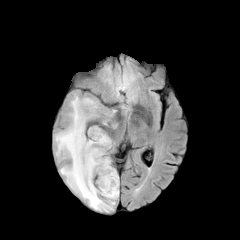
FLAIR magnetic resonance.
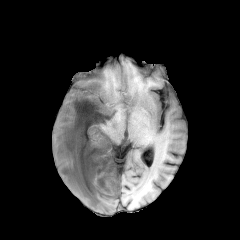
T1-weighted magnetic resonance.
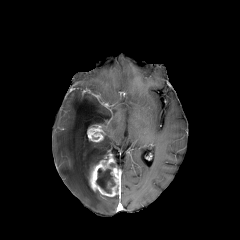
Post-contrast T1-weighted magnetic resonance.
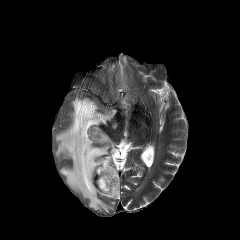
T2-weighted MR image.
Axial view
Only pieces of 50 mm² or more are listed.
* enhancing tumor: l=87, t=124, r=105, b=142; l=89, t=151, r=120, b=196
* peritumoral edema: l=54, t=93, r=118, b=212
* necrotic tumor core: l=96, t=168, r=115, b=193